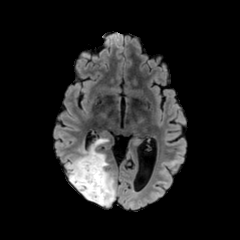
FLAIR MR image.
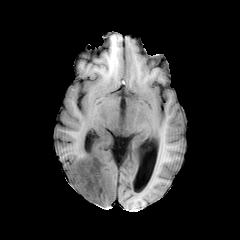
T1-weighted MRI of the same slice.
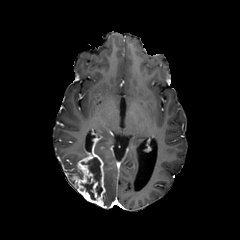
Post-contrast T1-weighted MRI.
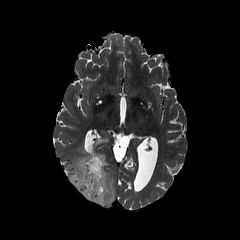
T2-weighted MR image.
240x240 px, Brain
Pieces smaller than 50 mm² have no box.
peritumoral edema: (x1=66, y1=138, x2=115, y2=206) | necrotic tumor core: (x1=81, y1=157, x2=102, y2=195), (x1=81, y1=182, x2=95, y2=199) | enhancing tumor: (x1=71, y1=148, x2=105, y2=206)